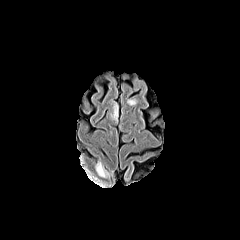
FLAIR MR.
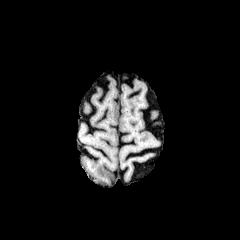
T1-weighted MR.
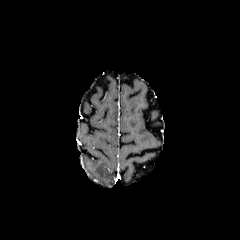
Same slice, post-contrast T1-weighted magnetic resonance.
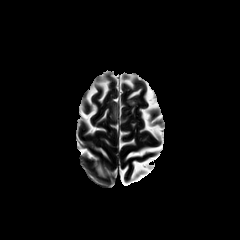
Same slice, T2-weighted magnetic resonance.
Head
<segmentation>
  <peritumoral_edema>126, 98, 137, 107; 94, 160, 110, 178; 109, 98, 118, 124</peritumoral_edema>
</segmentation>